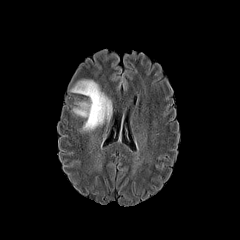
FLAIR MR image.
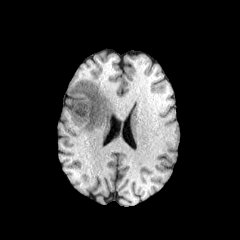
Same slice, T1-weighted MR image.
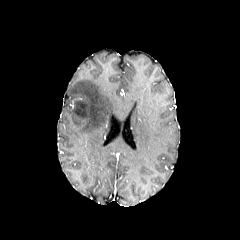
Post-contrast T1-weighted magnetic resonance.
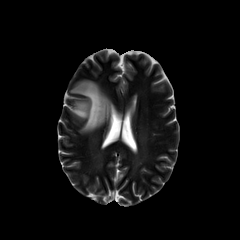
T2-weighted MR.
peritumoral edema: 71, 80, 112, 131